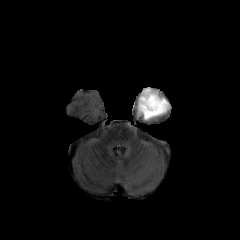
FLAIR MR.
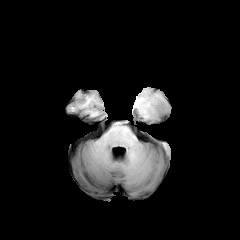
Same slice, T1-weighted MRI.
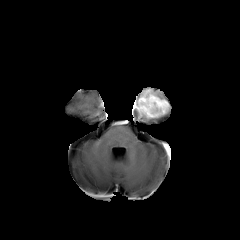
Post-contrast T1-weighted magnetic resonance.
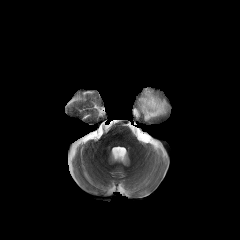
T2-weighted MRI of the same slice.
240x240, Axial view
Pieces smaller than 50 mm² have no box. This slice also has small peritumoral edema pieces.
<segmentation>
  <enhancing_tumor>(x1=135, y1=88, x2=170, y2=118)</enhancing_tumor>
</segmentation>